FLAIR MR.
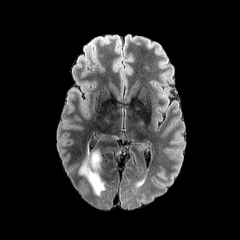
T1-weighted MR.
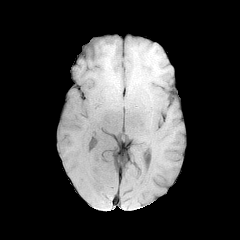
Post-contrast T1-weighted MRI.
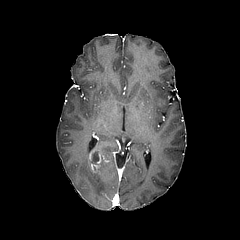
T2-weighted magnetic resonance.
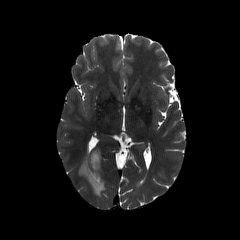
Axial view.
{"necrotic_tumor_core": ["[91,152,98,163]"], "peritumoral_edema": ["[79,146,105,195]"], "enhancing_tumor": ["[88,149,102,172]"]}